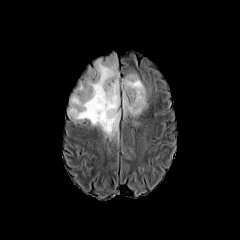
FLAIR MR.
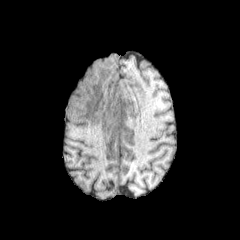
T1-weighted MR.
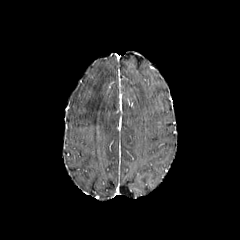
Post-contrast T1-weighted MR image of the same slice.
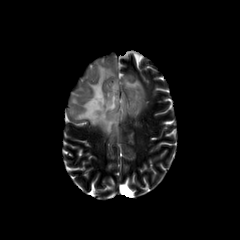
T2-weighted MR image of the same slice.
Axial slice | 240x240 px | Head
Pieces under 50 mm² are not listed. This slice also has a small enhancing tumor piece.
The peritumoral edema is at x1=67 y1=54 x2=146 y2=139.